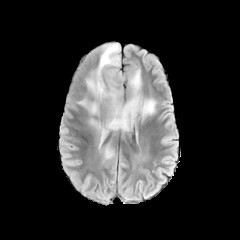
FLAIR magnetic resonance.
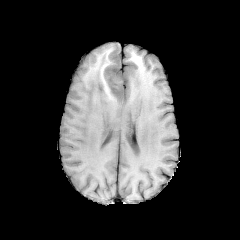
T1-weighted magnetic resonance.
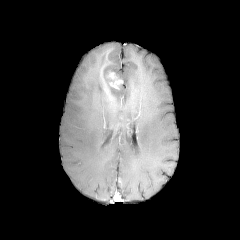
Post-contrast T1-weighted MRI.
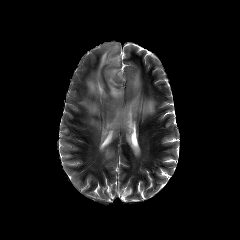
T2-weighted MR of the same slice.
240x240 px.
enhancing_tumor:
  - bbox(107, 71, 123, 89)
peritumoral_edema:
  - bbox(101, 145, 114, 162)
  - bbox(76, 98, 99, 114)
  - bbox(84, 43, 156, 146)